Brain | Axial slice | 240x240
FLAIR MRI.
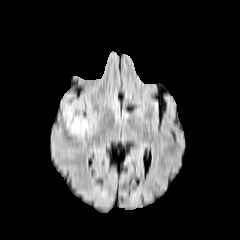
T1-weighted magnetic resonance.
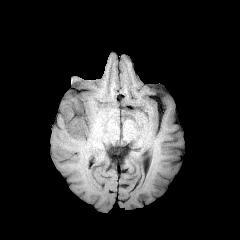
Post-contrast T1-weighted MR image.
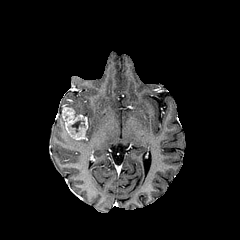
T2-weighted MR.
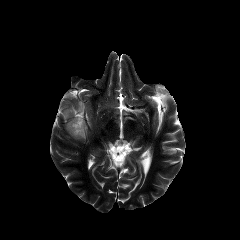
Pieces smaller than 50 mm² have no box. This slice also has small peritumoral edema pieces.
enhancing tumor: (62,105,87,139)
necrotic tumor core: (71,120,84,132)